Brain.
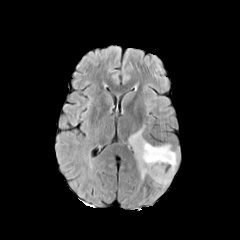
FLAIR MRI.
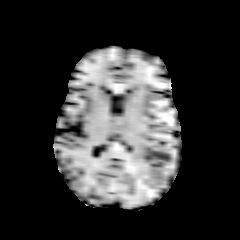
T1-weighted magnetic resonance.
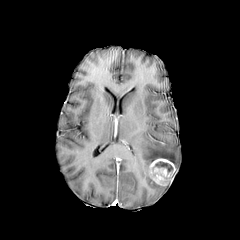
Same slice, post-contrast T1-weighted MRI.
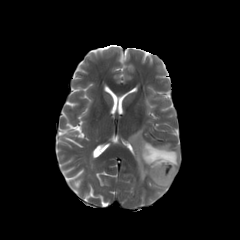
T2-weighted magnetic resonance.
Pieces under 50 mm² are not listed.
necrotic tumor core: bounding box x1=155, y1=162, x2=172, y2=171
enhancing tumor: bounding box x1=148, y1=158, x2=176, y2=185
peritumoral edema: bounding box x1=129, y1=126, x2=178, y2=179